FLAIR MR image.
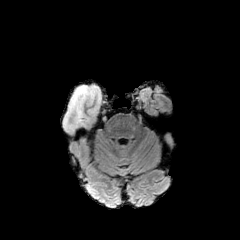
T1-weighted MR.
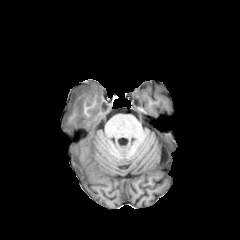
Post-contrast T1-weighted MR.
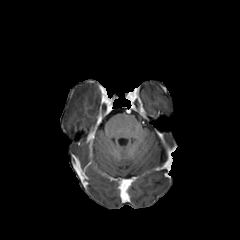
T2-weighted magnetic resonance.
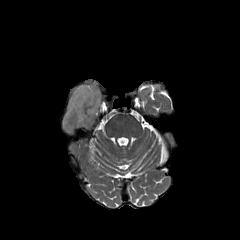
Brain | Axial slice | Image size 240x240
peritumoral edema: rect(63, 84, 101, 135)